Brain | Axial plane
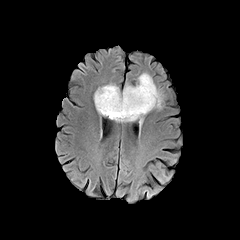
FLAIR MR.
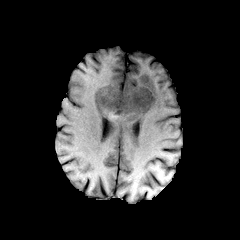
T1-weighted magnetic resonance.
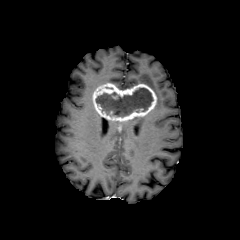
Post-contrast T1-weighted MR image.
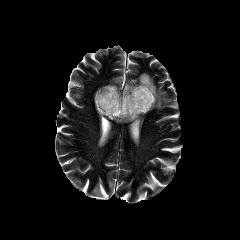
T2-weighted MR image of the same slice.
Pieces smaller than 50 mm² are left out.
peritumoral edema = (128,117,143,127), (138,73,163,109)
necrotic tumor core = (96,88,152,116)
enhancing tumor = (93,83,157,122)